Image size 240x240. Slice index 66. Brain.
FLAIR MRI.
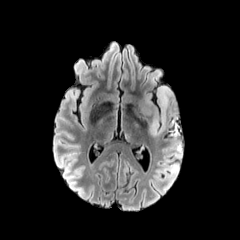
T1-weighted magnetic resonance.
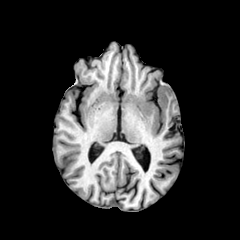
Post-contrast T1-weighted magnetic resonance.
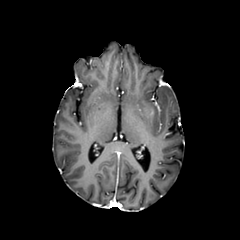
T2-weighted MRI.
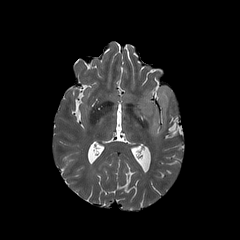
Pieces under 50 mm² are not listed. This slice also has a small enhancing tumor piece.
<segmentation>
  <peritumoral_edema>(x1=142, y1=95, x2=159, y2=135), (x1=157, y1=86, x2=172, y2=123)</peritumoral_edema>
</segmentation>